FLAIR MR.
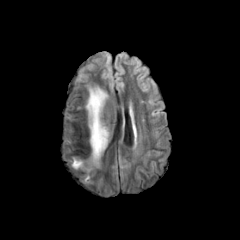
T1-weighted MR image.
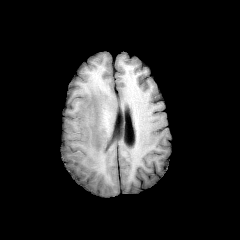
Post-contrast T1-weighted magnetic resonance.
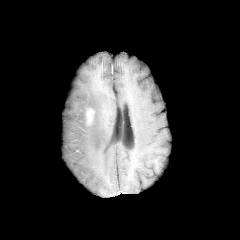
T2-weighted MRI.
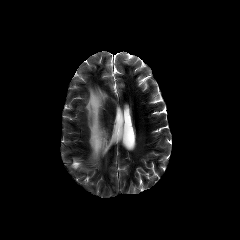
Axial view; Brain
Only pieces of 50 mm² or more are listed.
enhancing_tumor:
  - {"x1": 85, "y1": 108, "x2": 94, "y2": 124}
peritumoral_edema:
  - {"x1": 72, "y1": 159, "x2": 82, "y2": 168}
  - {"x1": 86, "y1": 88, "x2": 107, "y2": 163}